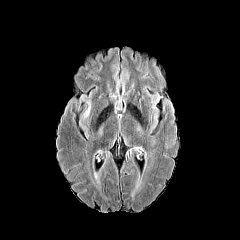
FLAIR MRI.
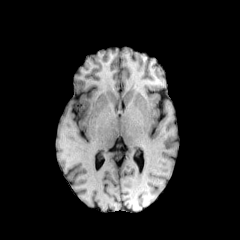
Same slice, T1-weighted MR.
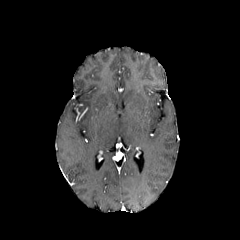
Post-contrast T1-weighted magnetic resonance.
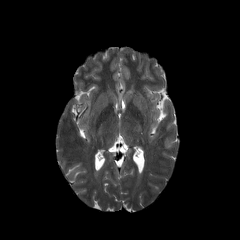
T2-weighted MRI.
Axial view
The peritumoral edema appears at left=84, top=100, right=90, bottom=116.